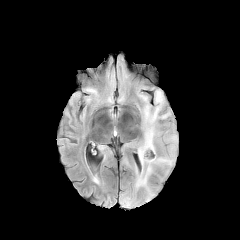
FLAIR MR.
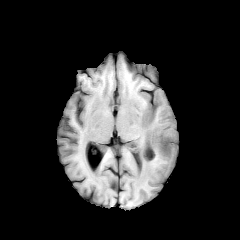
Same slice, T1-weighted MR image.
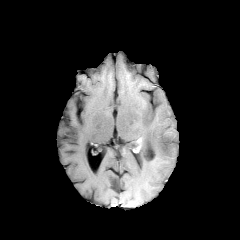
Post-contrast T1-weighted magnetic resonance.
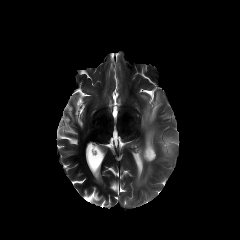
Same slice, T2-weighted MRI.
Axial view, Head
{
  "peritumoral_edema": [
    "l=136, t=106, r=177, b=185"
  ]
}